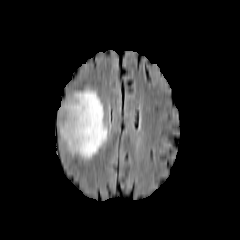
FLAIR MR.
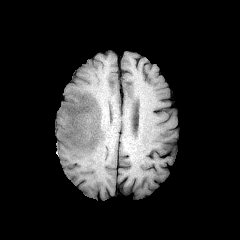
T1-weighted MRI of the same slice.
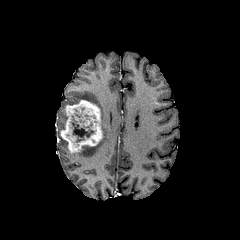
Post-contrast T1-weighted magnetic resonance.
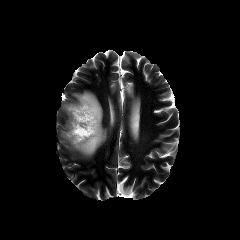
T2-weighted MR image.
Axial plane; Head
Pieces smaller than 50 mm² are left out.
The largest enhancing tumor region is at 60 100 102 152. The largest peritumoral edema region lies within 61 89 110 158. The largest necrotic tumor core region appears at 72 121 93 142.